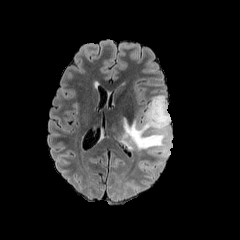
FLAIR MR image.
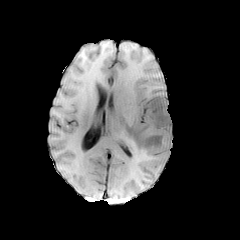
Same slice, T1-weighted MR image.
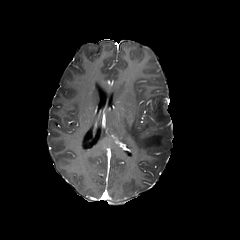
Post-contrast T1-weighted MR image of the same slice.
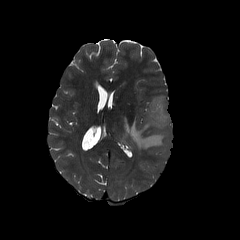
T2-weighted MRI of the same slice.
Axial view
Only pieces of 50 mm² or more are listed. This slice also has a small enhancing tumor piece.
2 peritumoral edema regions are bounded by [x1=138, y1=161, x2=153, y2=171], [x1=119, y1=95, x2=172, y2=167].